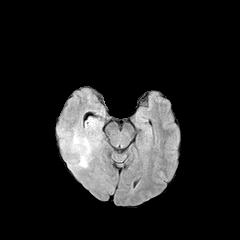
FLAIR MR.
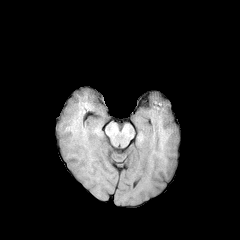
Same slice, T1-weighted MRI.
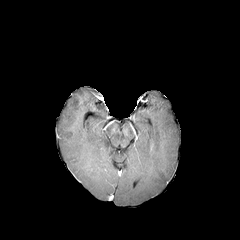
Post-contrast T1-weighted MRI.
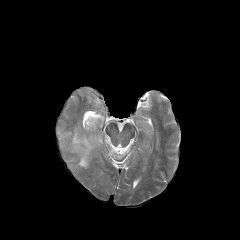
T2-weighted magnetic resonance of the same slice.
Head; Axial slice
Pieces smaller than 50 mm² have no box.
peritumoral edema = rect(58, 118, 101, 168)